240x240 px. Slice 57 of 155.
FLAIR MRI.
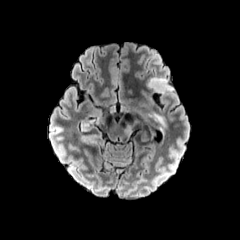
T1-weighted MR image.
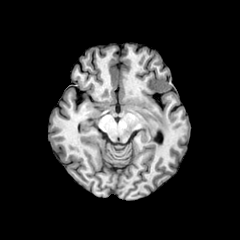
Post-contrast T1-weighted MR image.
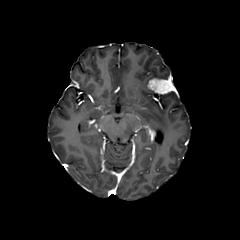
T2-weighted magnetic resonance.
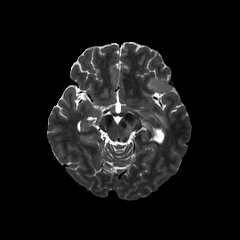
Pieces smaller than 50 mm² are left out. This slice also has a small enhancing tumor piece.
2 peritumoral edema regions are bounded by [148,112,166,130], [124,120,139,134].